Image width 240 mm, 1.00 mm slice spacing; Slice 73/155
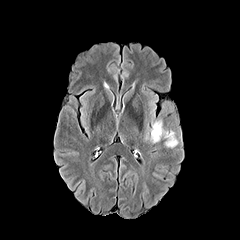
FLAIR magnetic resonance.
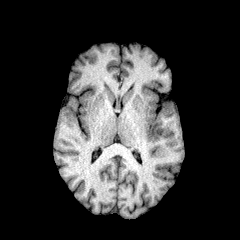
T1-weighted MR.
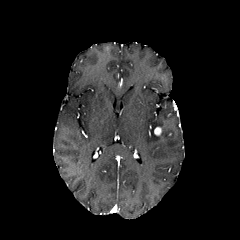
Same slice, post-contrast T1-weighted MR image.
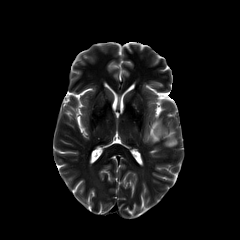
T2-weighted MR.
The enhancing tumor is at (154, 127, 161, 135). The peritumoral edema lies within (144, 120, 178, 149).